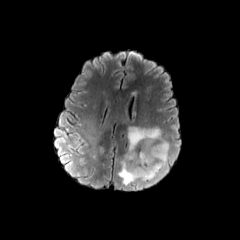
FLAIR MR image.
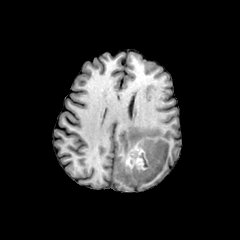
T1-weighted MR image.
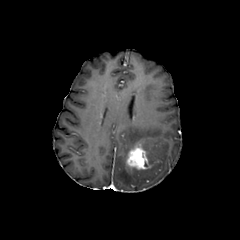
Post-contrast T1-weighted MRI of the same slice.
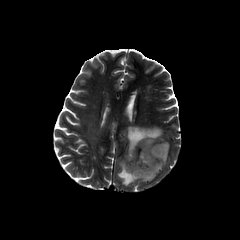
Same slice, T2-weighted MRI.
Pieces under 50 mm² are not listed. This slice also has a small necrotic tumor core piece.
peritumoral_edema:
  - bbox=[118, 126, 169, 186]
enhancing_tumor:
  - bbox=[127, 147, 149, 169]